Slice 97/155, Image width 240 mm, Brain
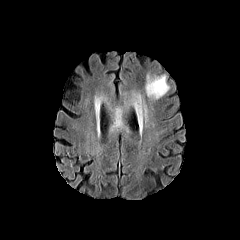
FLAIR MRI.
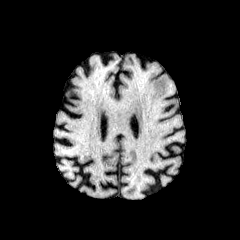
T1-weighted MRI.
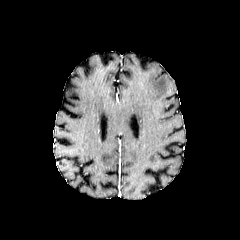
Post-contrast T1-weighted MR.
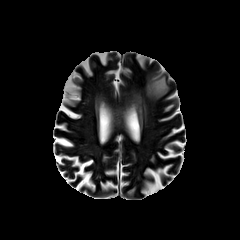
T2-weighted MR image.
peritumoral_edema:
  - rect(133, 94, 146, 118)
  - rect(145, 75, 169, 99)